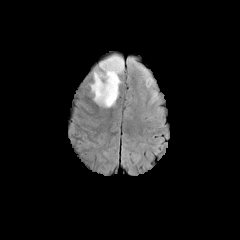
FLAIR MR image.
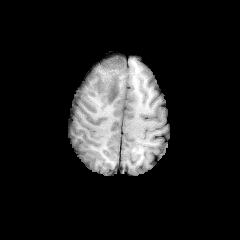
T1-weighted MR image.
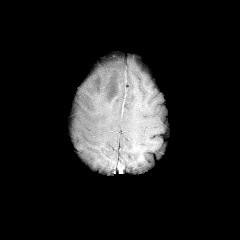
Post-contrast T1-weighted MR image.
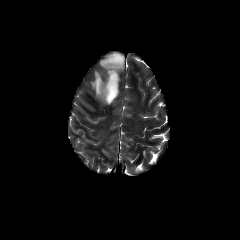
T2-weighted MR image.
Axial slice
peritumoral edema at l=88, t=53, r=123, b=107